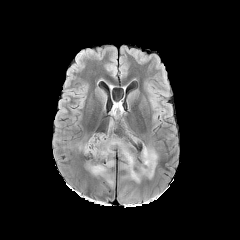
FLAIR magnetic resonance.
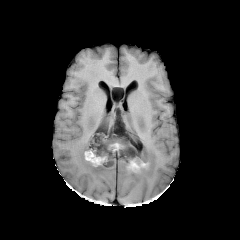
T1-weighted MR.
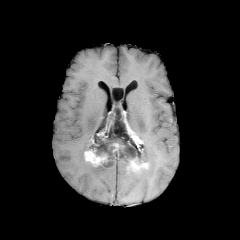
Same slice, post-contrast T1-weighted MR.
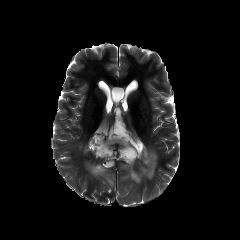
T2-weighted magnetic resonance.
Axial view.
2 peritumoral edema regions are located at box=[86, 136, 158, 186]; box=[79, 140, 90, 152]. The necrotic tumor core appears at box=[89, 141, 104, 155]. 2 enhancing tumor regions are bounded by box=[84, 149, 107, 166]; box=[127, 159, 148, 171].